Axial slice; Brain
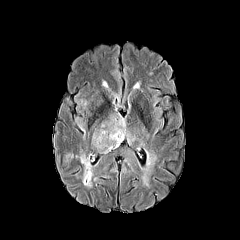
FLAIR MR image.
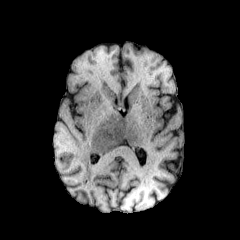
T1-weighted MR.
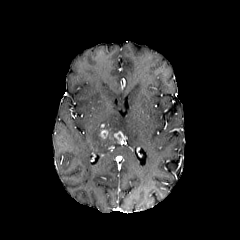
Same slice, post-contrast T1-weighted MR image.
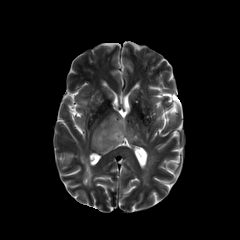
Same slice, T2-weighted MR.
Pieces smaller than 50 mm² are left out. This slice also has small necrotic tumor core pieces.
2 peritumoral edema regions are bounded by rect(91, 109, 135, 154); rect(79, 154, 92, 187). The largest enhancing tumor region is located at rect(99, 129, 124, 142).